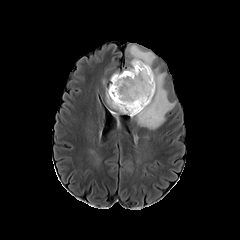
FLAIR MR.
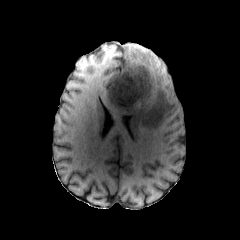
T1-weighted MRI.
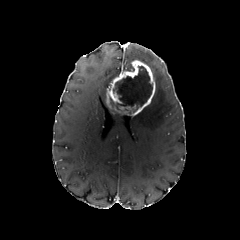
Post-contrast T1-weighted MR image.
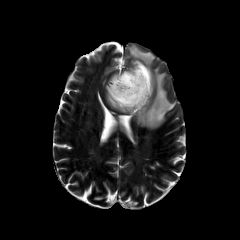
T2-weighted MRI.
Head. Axial view.
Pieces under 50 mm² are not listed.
enhancing tumor — (x1=106, y1=60, x2=155, y2=116)
necrotic tumor core — (x1=110, y1=66, x2=152, y2=112)
peritumoral edema — (x1=134, y1=73, x2=175, y2=129), (x1=131, y1=48, x2=152, y2=66)